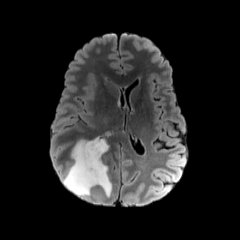
FLAIR MR.
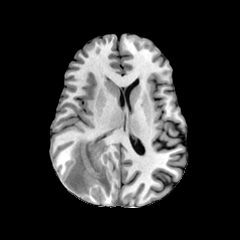
T1-weighted MR of the same slice.
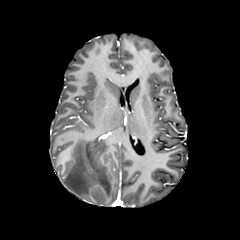
Same slice, post-contrast T1-weighted magnetic resonance.
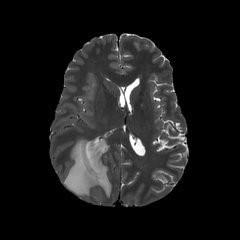
T2-weighted MR.
Head | Image size 240x240 | Axial view
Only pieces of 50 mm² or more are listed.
peritumoral edema = (63,136,111,197)